FLAIR MR image.
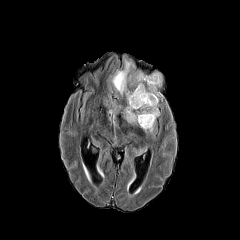
T1-weighted MRI.
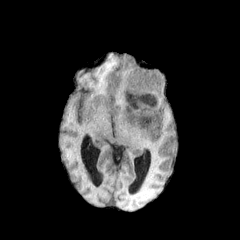
Post-contrast T1-weighted MR image.
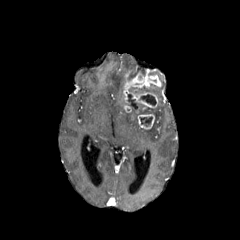
T2-weighted MR.
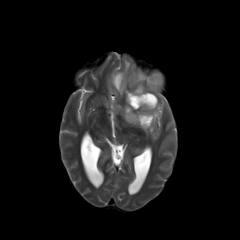
240x240 px | Head
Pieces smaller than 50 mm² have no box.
peritumoral edema = left=108, top=102, right=116, bottom=116; left=151, top=70, right=162, bottom=81; left=149, top=87, right=162, bottom=96; left=111, top=59, right=134, bottom=95; left=145, top=106, right=159, bottom=118; left=144, top=121, right=155, bottom=133; left=123, top=110, right=137, bottom=124
necrotic tumor core = left=128, top=94, right=145, bottom=119; left=140, top=94, right=156, bottom=105; left=140, top=116, right=152, bottom=126
enhancing tumor = left=123, top=72, right=161, bottom=112; left=137, top=114, right=154, bottom=129